FLAIR magnetic resonance.
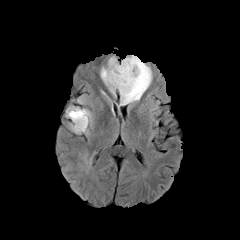
T1-weighted MR image.
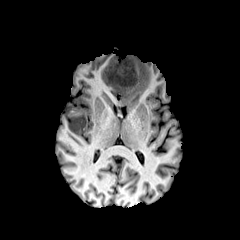
Post-contrast T1-weighted MR.
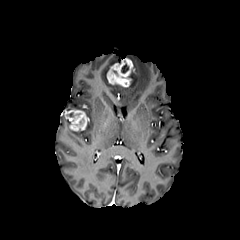
T2-weighted MRI.
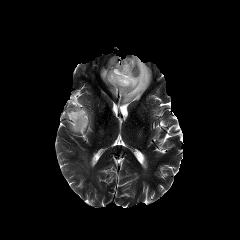
Head, Axial plane
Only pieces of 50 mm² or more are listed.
enhancing_tumor:
  - 65:109:88:131
  - 107:58:133:87
peritumoral_edema:
  - 67:107:89:117
  - 100:55:151:105
necrotic_tumor_core:
  - 121:64:128:73